Head. Slice 122 of 155. Axial plane. 240x240 px.
FLAIR magnetic resonance.
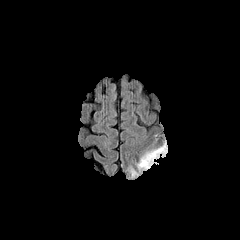
T1-weighted MR image.
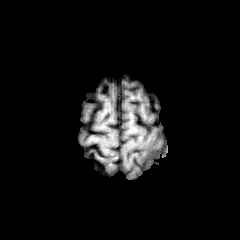
Post-contrast T1-weighted MR image.
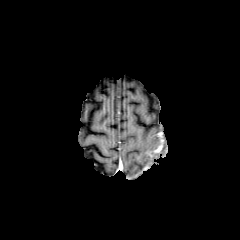
T2-weighted MR image.
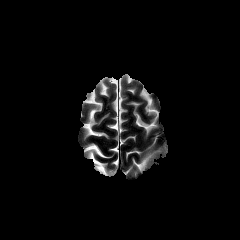
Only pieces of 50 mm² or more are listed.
The largest peritumoral edema region is bounded by (138, 152, 157, 169). The largest enhancing tumor region is bounded by (148, 146, 163, 159).